240x240 px.
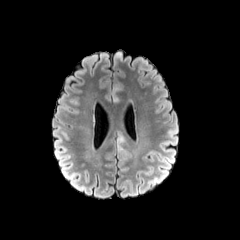
FLAIR MR.
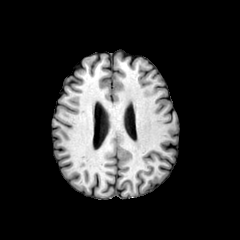
Same slice, T1-weighted magnetic resonance.
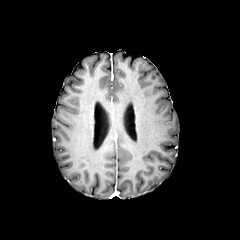
Post-contrast T1-weighted MR.
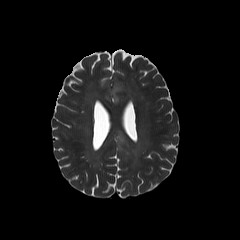
T2-weighted MR.
* peritumoral edema: {"x1": 112, "y1": 86, "x2": 121, "y2": 103}